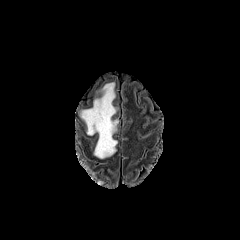
FLAIR magnetic resonance.
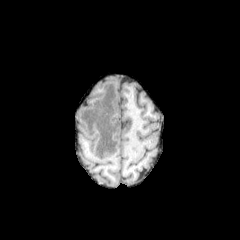
T1-weighted MRI of the same slice.
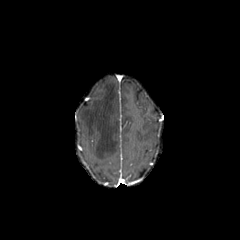
Post-contrast T1-weighted MR image.
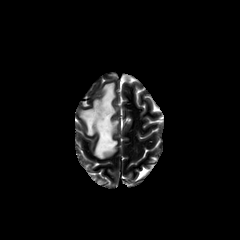
T2-weighted MR image.
Axial slice. Head.
peritumoral_edema:
  - 80, 82, 118, 158